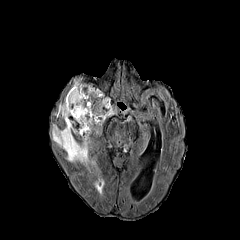
FLAIR MRI.
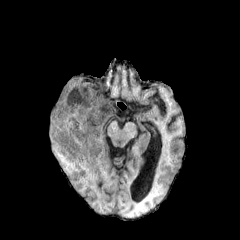
T1-weighted MR of the same slice.
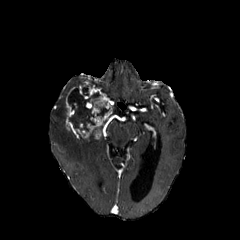
Same slice, post-contrast T1-weighted MR.
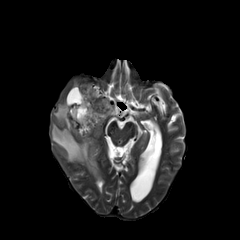
T2-weighted MR image.
Brain | Axial view | 240x240
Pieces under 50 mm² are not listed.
necrotic_tumor_core:
  - rect(97, 107, 108, 116)
  - rect(68, 86, 100, 131)
enhancing_tumor:
  - rect(65, 83, 112, 138)
peritumoral_edema:
  - rect(52, 124, 95, 170)
  - rect(54, 102, 66, 123)